FLAIR MR image.
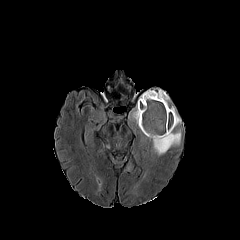
T1-weighted MR.
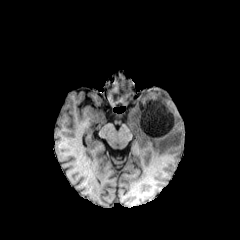
Post-contrast T1-weighted MR image.
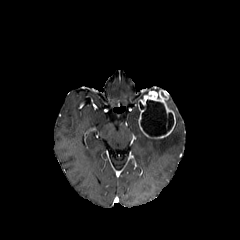
T2-weighted magnetic resonance.
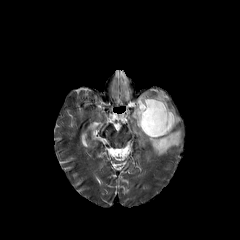
Axial slice; Head
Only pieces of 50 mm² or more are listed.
enhancing tumor: bounding box (138, 90, 175, 138)
necrotic tumor core: bounding box (140, 100, 173, 136)
peritumoral edema: bounding box (144, 128, 181, 155), (128, 104, 139, 123), (171, 105, 181, 125)